Axial plane
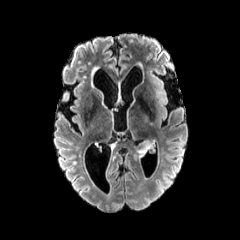
FLAIR MR.
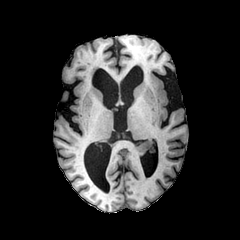
Same slice, T1-weighted MR.
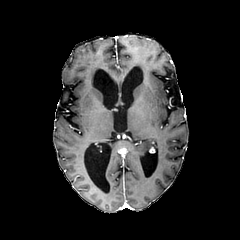
Post-contrast T1-weighted MR.
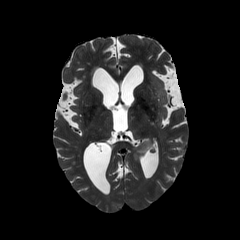
T2-weighted MRI.
The peritumoral edema lies within (135, 141, 153, 159).